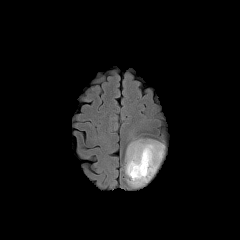
FLAIR MRI.
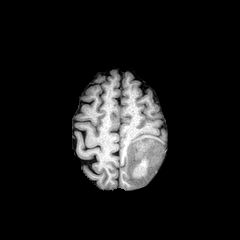
T1-weighted magnetic resonance.
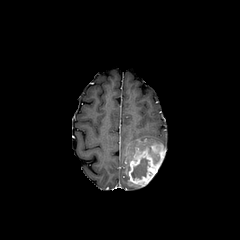
Post-contrast T1-weighted MR image.
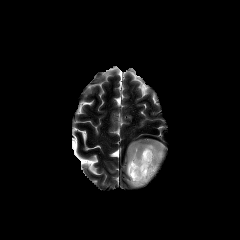
T2-weighted MR image of the same slice.
Image size 240x240
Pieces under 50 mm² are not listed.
necrotic tumor core: [131, 158, 147, 178] | peritumoral edema: [125, 139, 161, 173] | enhancing tumor: [126, 143, 165, 186]